FLAIR MRI.
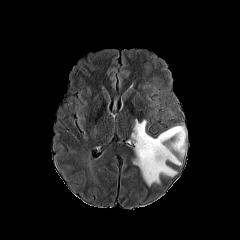
T1-weighted MRI.
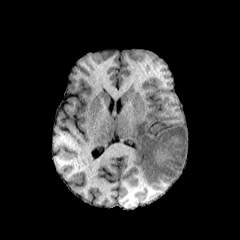
Post-contrast T1-weighted MR.
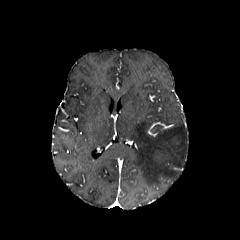
T2-weighted magnetic resonance.
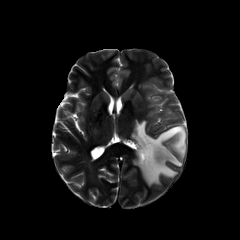
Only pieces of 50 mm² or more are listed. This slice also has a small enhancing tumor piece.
Segmented structures:
- peritumoral edema: (131, 119, 186, 186)